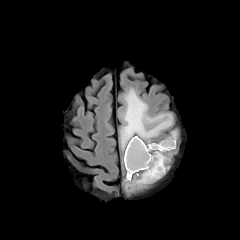
FLAIR MR.
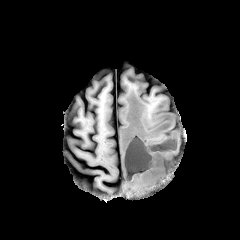
T1-weighted magnetic resonance.
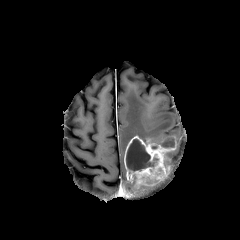
Same slice, post-contrast T1-weighted MR image.
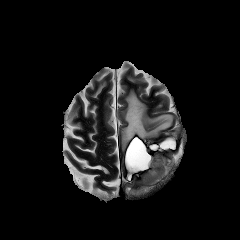
T2-weighted magnetic resonance.
Head
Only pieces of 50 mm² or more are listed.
Annotated regions:
* necrotic tumor core: bbox=[161, 140, 174, 147]; bbox=[126, 139, 157, 170]
* peritumoral edema: bbox=[120, 89, 172, 150]; bbox=[125, 176, 144, 190]; bbox=[162, 131, 177, 140]
* enhancing tumor: bbox=[124, 136, 176, 186]